FLAIR magnetic resonance.
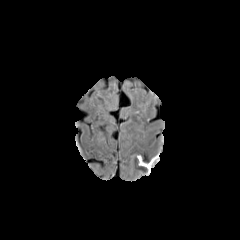
T1-weighted MR image.
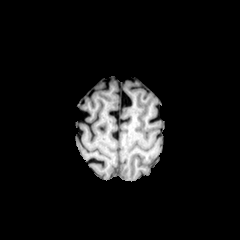
Post-contrast T1-weighted magnetic resonance.
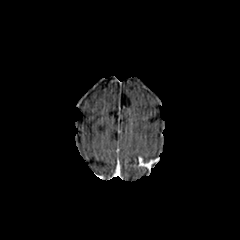
T2-weighted magnetic resonance.
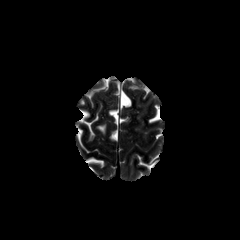
Axial slice
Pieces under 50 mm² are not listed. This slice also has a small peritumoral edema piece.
The enhancing tumor lies within rect(139, 157, 158, 170).